Brain
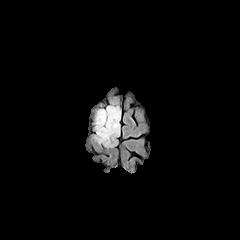
FLAIR MRI.
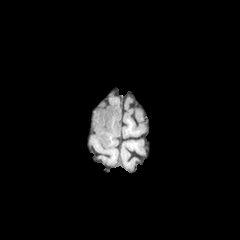
T1-weighted MR.
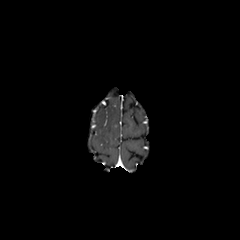
Post-contrast T1-weighted magnetic resonance.
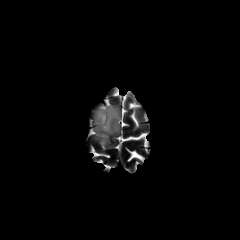
Same slice, T2-weighted MR image.
peritumoral edema: bounding box 94:106:120:147